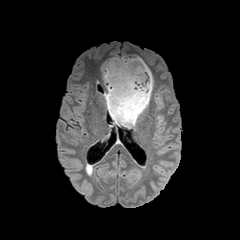
FLAIR MR.
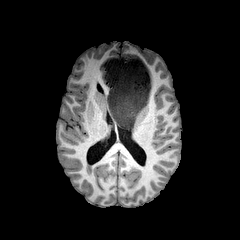
T1-weighted MR.
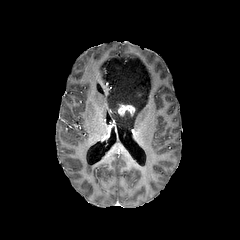
Post-contrast T1-weighted MR.
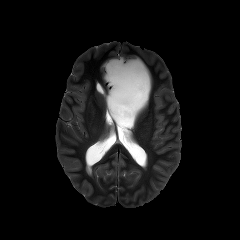
Same slice, T2-weighted MRI.
Axial view. 240x240 px.
The peritumoral edema appears at <box>102,57,153,127</box>. The enhancing tumor is bounded by <box>118,104,135,115</box>.